Image size 240x240. Axial slice. Image width 240 mm, 1.00 mm slice spacing. Head.
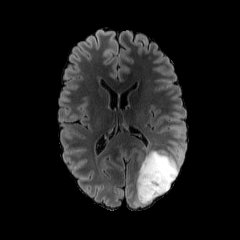
FLAIR MR.
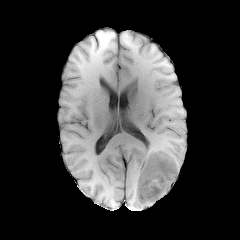
T1-weighted MR.
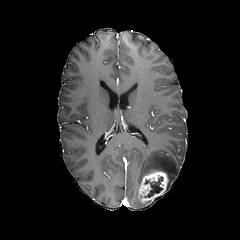
Same slice, post-contrast T1-weighted MR.
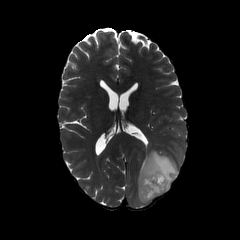
T2-weighted MRI.
The enhancing tumor is bounded by bbox(139, 170, 168, 202). The peritumoral edema appears at bbox(135, 150, 179, 206). The necrotic tumor core is located at bbox(145, 176, 163, 197).